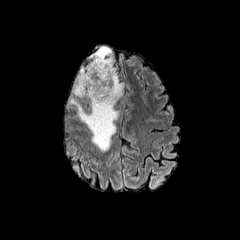
FLAIR magnetic resonance.
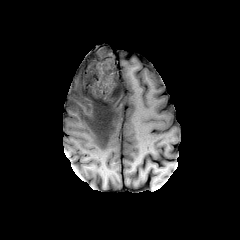
Same slice, T1-weighted magnetic resonance.
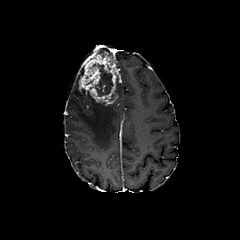
Post-contrast T1-weighted magnetic resonance.
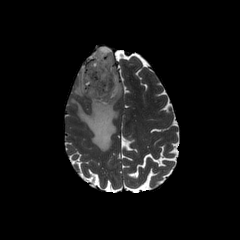
T2-weighted MR.
240x240; Head
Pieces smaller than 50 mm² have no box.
necrotic tumor core: 95,64,113,96 | peritumoral edema: 87,46,111,59; 69,77,123,151 | enhancing tumor: 78,51,118,105